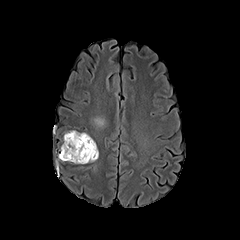
FLAIR MRI.
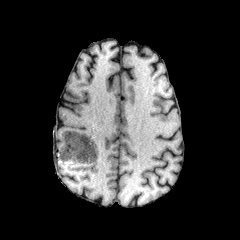
Same slice, T1-weighted MRI.
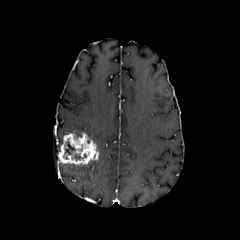
Post-contrast T1-weighted MR image.
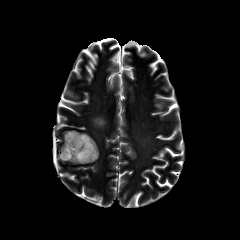
T2-weighted magnetic resonance.
Axial plane; Image size 240x240; Brain
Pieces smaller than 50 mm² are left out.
enhancing tumor — (left=58, top=132, right=98, bottom=164)
peritumoral edema — (left=64, top=130, right=81, bottom=136), (left=92, top=116, right=105, bottom=127)
necrotic tumor core — (left=65, top=142, right=75, bottom=154)